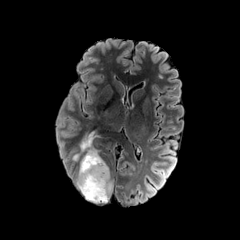
FLAIR MR image.
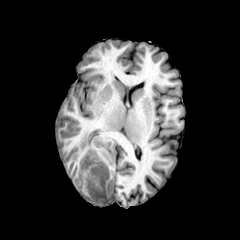
T1-weighted magnetic resonance of the same slice.
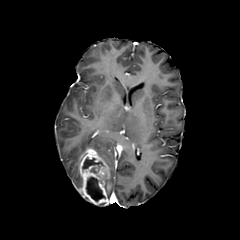
Post-contrast T1-weighted magnetic resonance.
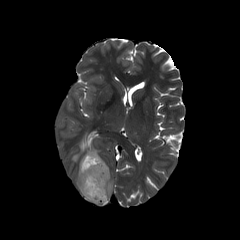
T2-weighted MRI of the same slice.
Brain | Axial slice
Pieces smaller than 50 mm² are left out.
Segmented structures:
* necrotic tumor core: left=85, top=177, right=105, bottom=201; left=82, top=157, right=102, bottom=169
* enhancing tumor: left=79, top=148, right=111, bottom=204
* peritumoral edema: left=76, top=168, right=81, bottom=190; left=73, top=134, right=101, bottom=160; left=108, top=173, right=113, bottom=199